Axial slice; 240x240; Brain
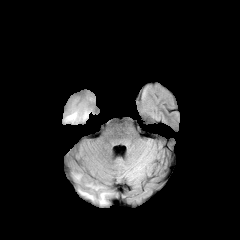
FLAIR MRI.
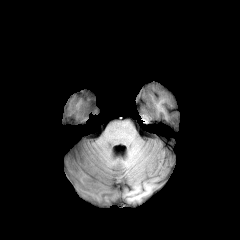
T1-weighted MR.
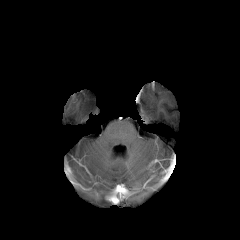
Same slice, post-contrast T1-weighted MR image.
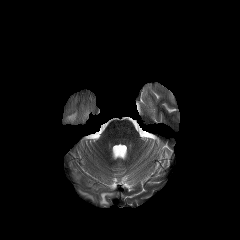
T2-weighted MRI of the same slice.
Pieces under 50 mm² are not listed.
* peritumoral edema: 65, 108, 90, 122; 100, 193, 108, 204